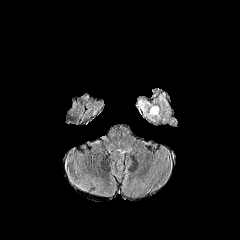
FLAIR MR image.
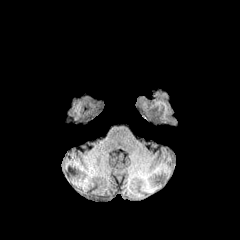
T1-weighted MRI.
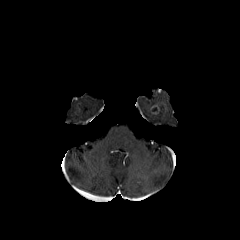
Post-contrast T1-weighted magnetic resonance of the same slice.
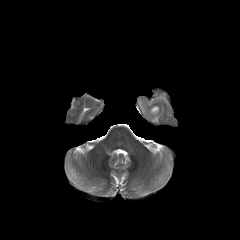
Same slice, T2-weighted MRI.
Axial view
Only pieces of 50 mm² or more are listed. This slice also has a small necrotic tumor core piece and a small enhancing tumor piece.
The largest peritumoral edema region lies within <bbox>139, 99, 159, 119</bbox>.